FLAIR MR.
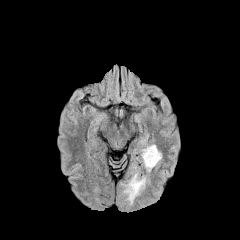
T1-weighted MR image.
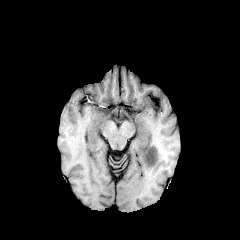
Post-contrast T1-weighted MRI.
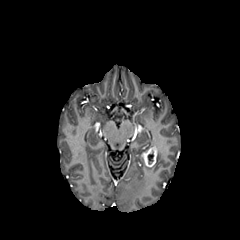
T2-weighted MR.
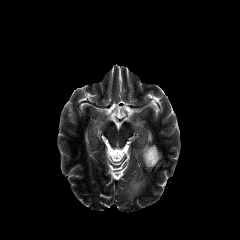
Head
Annotated regions:
• enhancing tumor: <box>142,146,157,166</box>
• necrotic tumor core: <box>148,153,153,163</box>
• peritumoral edema: <box>141,144,156,171</box>, <box>124,172,145,203</box>, <box>153,150,161,166</box>